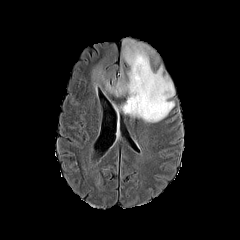
FLAIR MR.
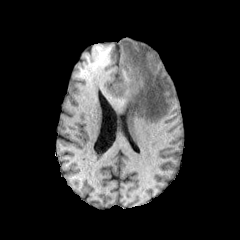
T1-weighted magnetic resonance of the same slice.
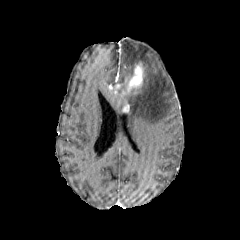
Post-contrast T1-weighted MR.
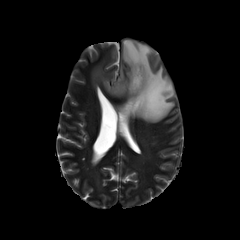
Same slice, T2-weighted MR.
Axial view
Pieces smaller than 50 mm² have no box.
peritumoral edema: (left=122, top=38, right=175, bottom=122), (left=92, top=66, right=127, bottom=96) | enhancing tumor: (left=112, top=84, right=120, bottom=94), (left=127, top=62, right=144, bottom=92), (left=123, top=104, right=129, bottom=112)